FLAIR magnetic resonance.
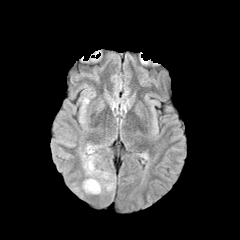
T1-weighted magnetic resonance.
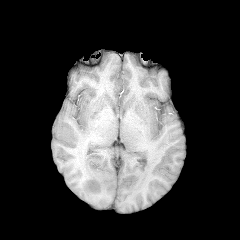
Post-contrast T1-weighted MRI.
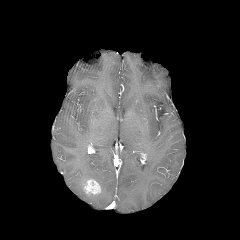
T2-weighted magnetic resonance.
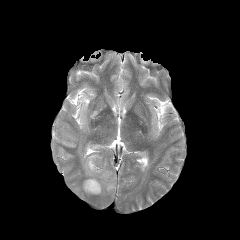
Image size 240x240
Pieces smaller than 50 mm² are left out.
peritumoral_edema:
  - 82:144:115:194
enhancing_tumor:
  - 84:179:100:194